FLAIR MR.
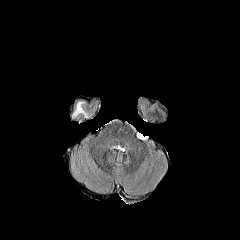
T1-weighted MR.
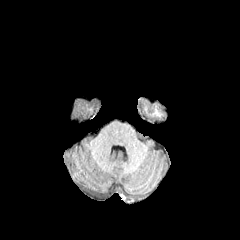
Post-contrast T1-weighted magnetic resonance.
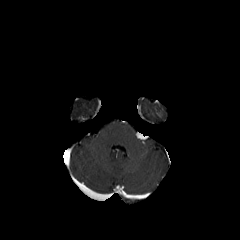
T2-weighted MR.
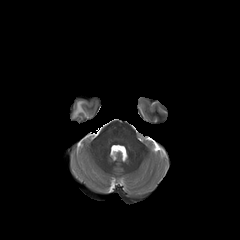
240x240 px | Brain | Axial view
{"peritumoral_edema": ["(72,101,86,117)"]}